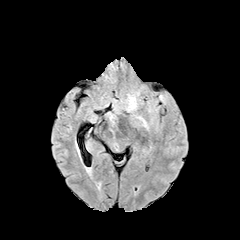
FLAIR MRI.
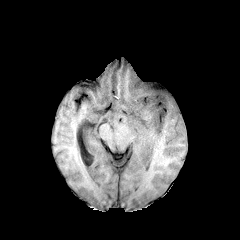
T1-weighted MRI.
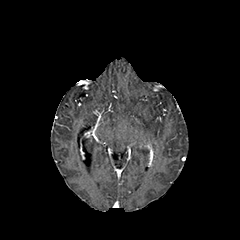
Post-contrast T1-weighted magnetic resonance.
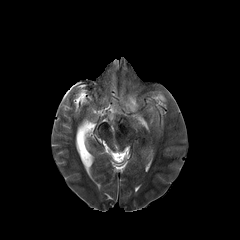
Same slice, T2-weighted magnetic resonance.
Axial plane
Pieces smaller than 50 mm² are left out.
peritumoral_edema:
  - (x1=127, y1=95, x2=137, y2=110)